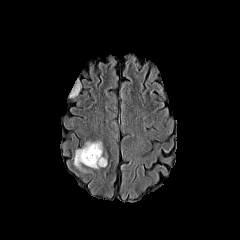
FLAIR MR image.
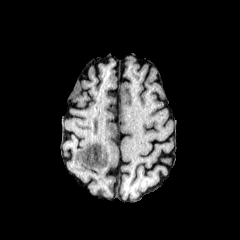
T1-weighted magnetic resonance.
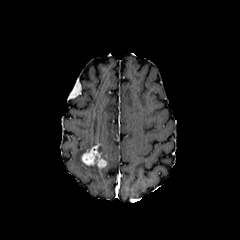
Post-contrast T1-weighted MR image.
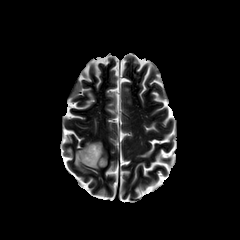
T2-weighted MR image.
Brain
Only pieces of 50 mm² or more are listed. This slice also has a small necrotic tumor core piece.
enhancing tumor at 81:144:106:168
peritumoral edema at 74:139:108:173